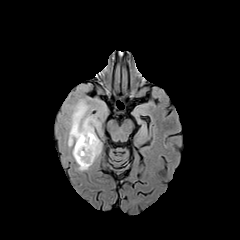
FLAIR magnetic resonance.
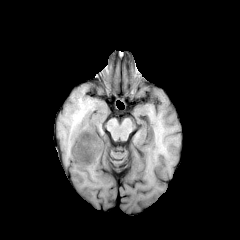
T1-weighted magnetic resonance.
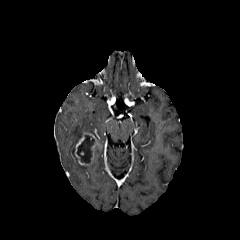
Post-contrast T1-weighted MRI of the same slice.
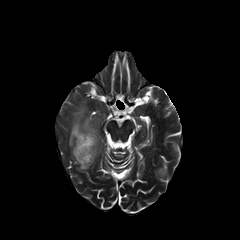
T2-weighted MR image of the same slice.
Axial plane
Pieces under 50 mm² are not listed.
2 peritumoral edema regions appear at left=55, top=84, right=108, bottom=160; left=72, top=147, right=91, bottom=171. The largest enhancing tumor region appears at left=75, top=132, right=99, bottom=165. The necrotic tumor core is located at left=77, top=135, right=94, bottom=163.